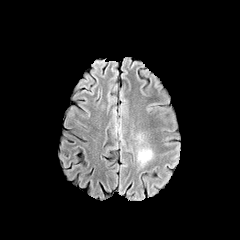
FLAIR MRI.
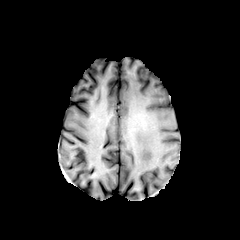
T1-weighted MRI of the same slice.
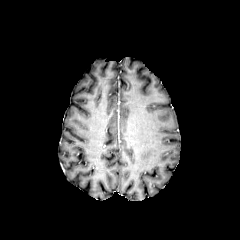
Post-contrast T1-weighted MR image.
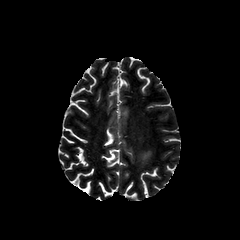
Same slice, T2-weighted MR.
Axial slice. Head.
The peritumoral edema lies within x1=138 y1=150 x2=151 y2=163.